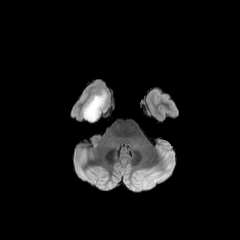
FLAIR MR image.
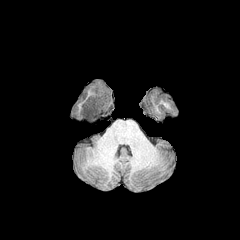
T1-weighted MR.
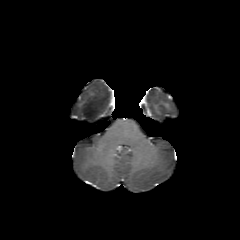
Post-contrast T1-weighted magnetic resonance of the same slice.
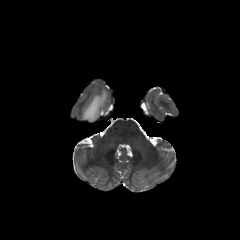
T2-weighted MR image of the same slice.
<segmentation>
  <peritumoral_edema>x1=82, y1=90, x2=108, y2=122</peritumoral_edema>
</segmentation>